Head, Axial slice, Slice index 49
FLAIR magnetic resonance.
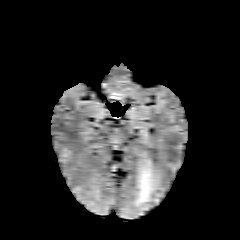
T1-weighted MRI.
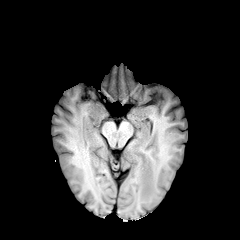
Post-contrast T1-weighted MR.
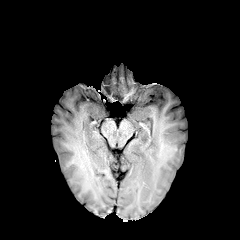
T2-weighted MRI.
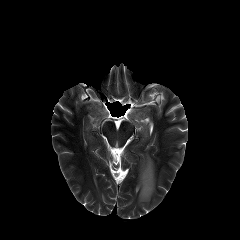
The peritumoral edema is located at rect(135, 158, 157, 205).